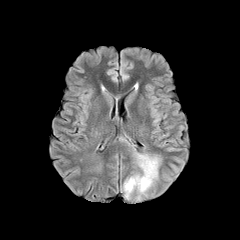
FLAIR MR image.
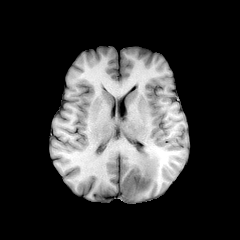
T1-weighted MRI of the same slice.
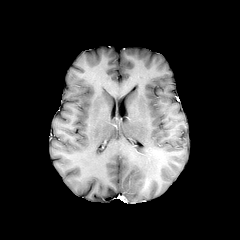
Post-contrast T1-weighted MR.
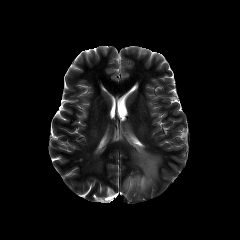
Same slice, T2-weighted MR image.
Head.
peritumoral edema = 123 153 160 198
enhancing tumor = 142 178 149 190